FLAIR magnetic resonance.
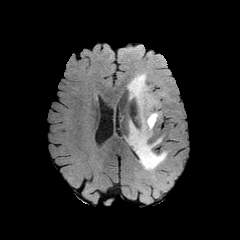
T1-weighted magnetic resonance.
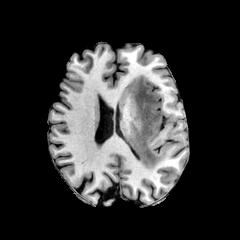
Post-contrast T1-weighted MR.
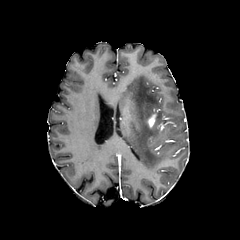
T2-weighted magnetic resonance.
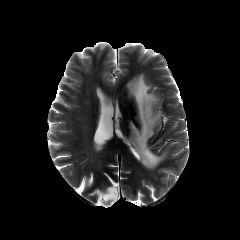
Axial view. Brain. 240x240 px.
enhancing tumor — (x1=147, y1=113, x2=156, y2=127)
peritumoral edema — (x1=126, y1=73, x2=167, y2=170)